FLAIR MRI.
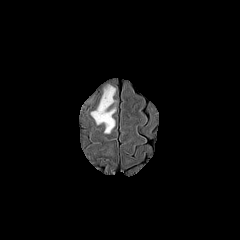
T1-weighted MRI.
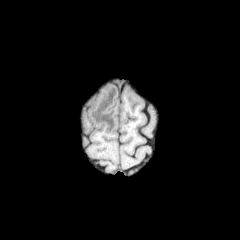
Post-contrast T1-weighted MR.
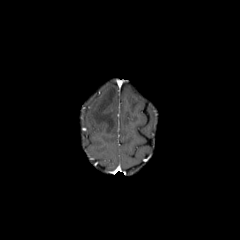
T2-weighted magnetic resonance.
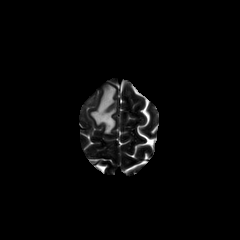
Head; 240x240 px; Axial plane
The peritumoral edema is at (x1=91, y1=85, x2=115, y2=133).